FLAIR MR.
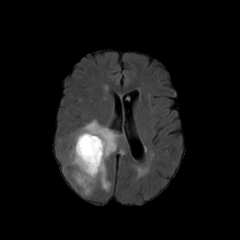
T1-weighted MRI.
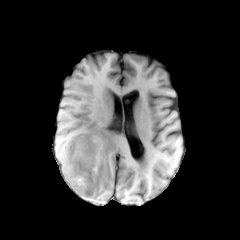
Post-contrast T1-weighted MR image.
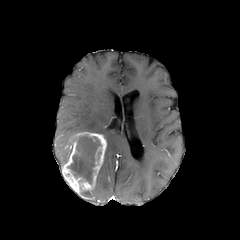
T2-weighted MRI.
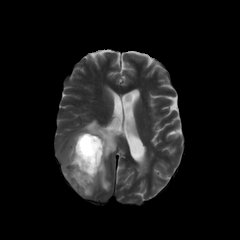
Axial view.
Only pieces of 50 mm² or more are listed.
peritumoral edema: bounding box x1=81, y1=190, x2=93, y2=196; x1=71, y1=119, x2=120, y2=191
enhancing tumor: bounding box x1=62, y1=132, x2=106, y2=193
necrotic tumor core: bounding box x1=68, y1=136, x2=100, y2=183